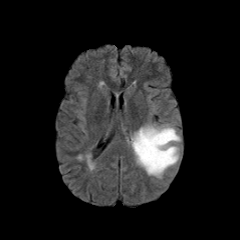
FLAIR MR image.
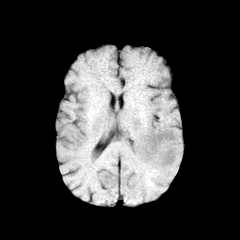
T1-weighted magnetic resonance.
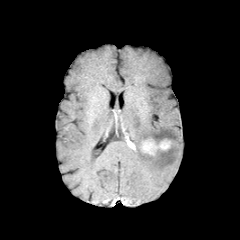
Post-contrast T1-weighted MR of the same slice.
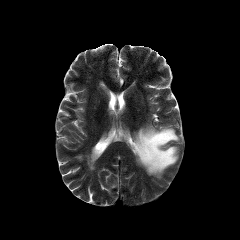
T2-weighted MRI of the same slice.
Axial view
enhancing tumor: bounding box 140,138,169,155
peritumoral edema: bounding box 131,124,180,178